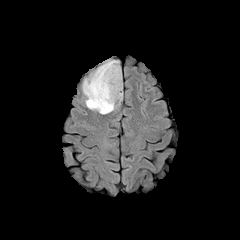
FLAIR MR.
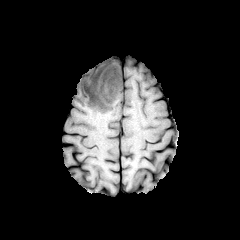
T1-weighted MRI.
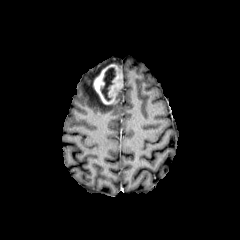
Post-contrast T1-weighted MR image of the same slice.
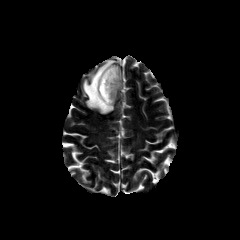
T2-weighted MR image.
Head.
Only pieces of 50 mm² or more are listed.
Annotated regions:
* peritumoral edema: <bbox>82, 59, 122, 114</bbox>
* necrotic tumor core: <bbox>100, 67, 115, 101</bbox>
* enhancing tumor: <bbox>93, 64, 122, 104</bbox>